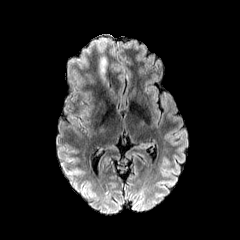
FLAIR magnetic resonance.
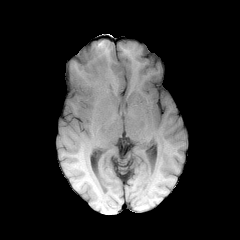
T1-weighted MRI.
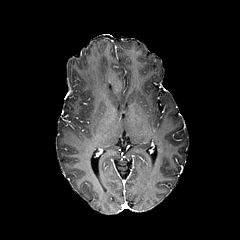
Post-contrast T1-weighted MRI.
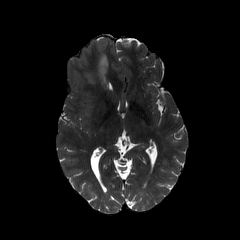
Same slice, T2-weighted MR image.
Image size 240x240. Axial slice.
{
  "peritumoral_edema": [
    "(left=98, top=55, right=107, bottom=82)"
  ]
}